240x240 px | Axial view | Head
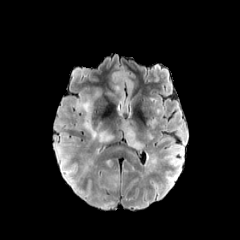
FLAIR magnetic resonance.
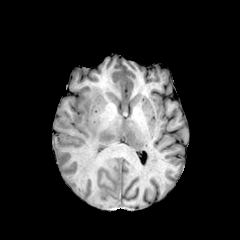
Same slice, T1-weighted MRI.
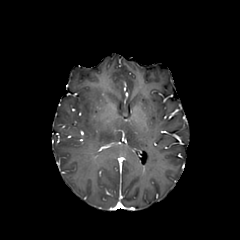
Same slice, post-contrast T1-weighted magnetic resonance.
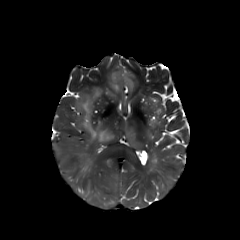
Same slice, T2-weighted MR.
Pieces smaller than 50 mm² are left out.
* peritumoral edema: [77, 97, 113, 142], [121, 121, 142, 149]